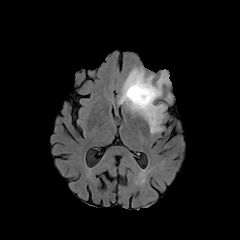
FLAIR MRI.
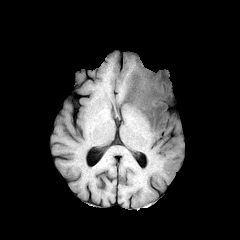
Same slice, T1-weighted MR.
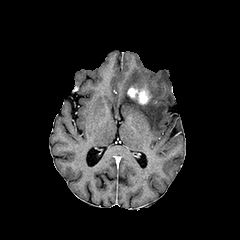
Same slice, post-contrast T1-weighted magnetic resonance.
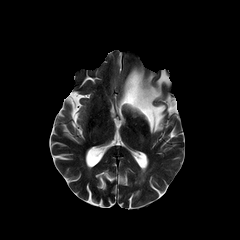
T2-weighted MR.
240x240
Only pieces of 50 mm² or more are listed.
enhancing_tumor:
  - 127, 85, 151, 104
peritumoral_edema:
  - 119, 67, 170, 133